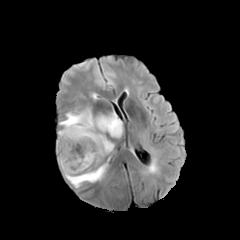
FLAIR MR image.
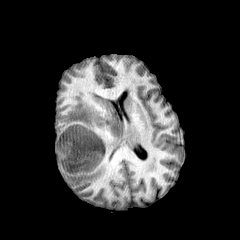
Same slice, T1-weighted MRI.
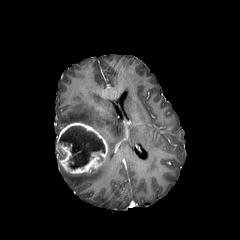
Post-contrast T1-weighted MRI of the same slice.
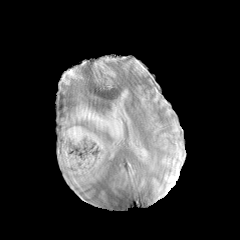
T2-weighted MRI of the same slice.
Head, 240x240
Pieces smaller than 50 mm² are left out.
Annotated regions:
* enhancing tumor: bbox=[56, 122, 107, 173]
* necrotic tumor core: bbox=[59, 126, 105, 168]
* peritumoral edema: bbox=[59, 106, 123, 153]; bbox=[60, 162, 108, 187]